Head | Image width 240 mm | Axial plane
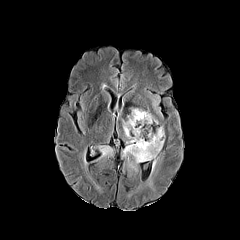
FLAIR MR image.
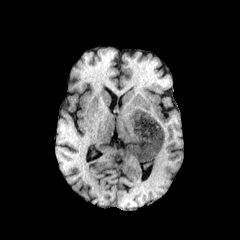
Same slice, T1-weighted MR.
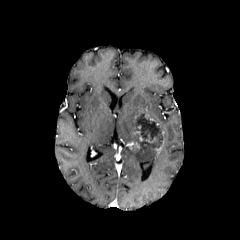
Same slice, post-contrast T1-weighted MR.
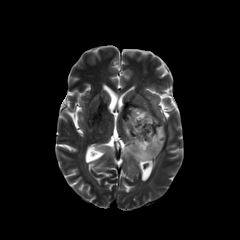
T2-weighted MRI.
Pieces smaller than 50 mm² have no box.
Segmented structures:
- necrotic tumor core: box(134, 112, 162, 148)
- peritumoral edema: box(96, 145, 114, 161); box(121, 106, 166, 191); box(92, 181, 101, 192)
- enhancing tumor: box(127, 142, 139, 149); box(154, 131, 165, 153)